FLAIR MR.
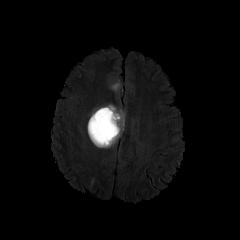
T1-weighted magnetic resonance.
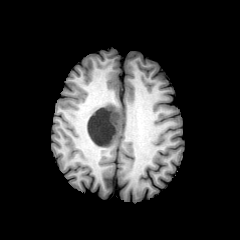
Post-contrast T1-weighted MR.
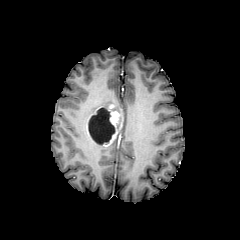
T2-weighted MRI.
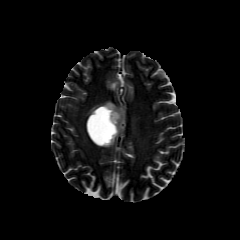
240x240. Axial view. Head.
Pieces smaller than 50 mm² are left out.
<segmentation>
  <enhancing_tumor>[98, 104, 122, 146]</enhancing_tumor>
  <peritumoral_edema>[92, 106, 124, 147]</peritumoral_edema>
  <necrotic_tumor_core>[88, 108, 115, 144]</necrotic_tumor_core>
</segmentation>